Image width 240 mm | Slice 51/155 | 240x240 | Axial plane
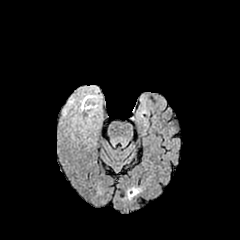
FLAIR magnetic resonance.
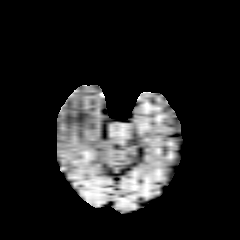
Same slice, T1-weighted magnetic resonance.
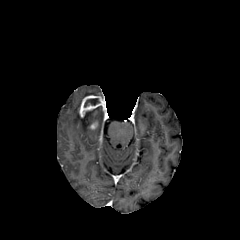
Post-contrast T1-weighted magnetic resonance of the same slice.
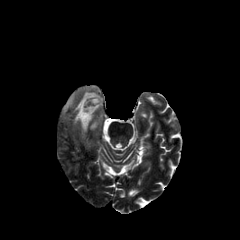
T2-weighted magnetic resonance of the same slice.
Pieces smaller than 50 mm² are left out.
peritumoral edema: bounding box x1=63 y1=86 x2=98 y2=130
enhancing tumor: bounding box x1=89 y1=120 x2=98 y2=129, x1=78 y1=95 x2=103 y2=118
necrotic tumor core: bounding box x1=84 y1=98 x2=100 y2=106